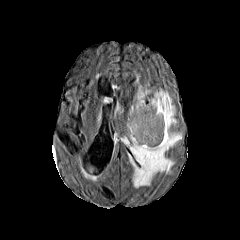
FLAIR MR image.
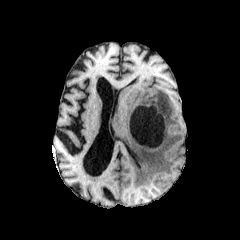
Same slice, T1-weighted MRI.
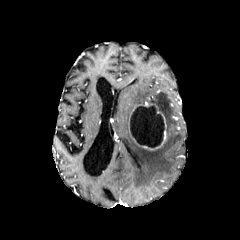
Post-contrast T1-weighted MR image.
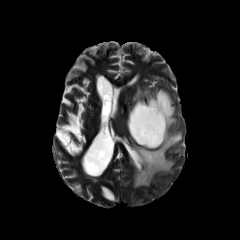
Same slice, T2-weighted MRI.
Image size 240x240, Axial plane
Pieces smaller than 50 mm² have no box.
The 2 largest peritumoral edema regions appear at [121,90,182,187], [129,86,149,114]. The necrotic tumor core is at [130,105,164,147]. The 2 largest enhancing tumor regions appear at [130,105,166,150], [130,102,154,117].